Axial slice, Image size 240x240
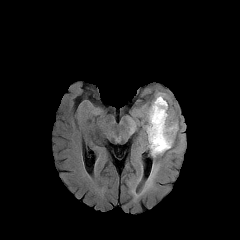
FLAIR MR image.
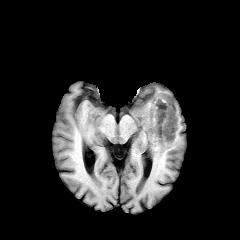
Same slice, T1-weighted MR image.
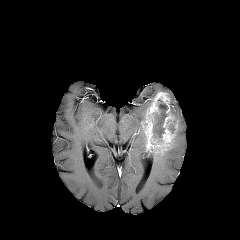
Same slice, post-contrast T1-weighted magnetic resonance.
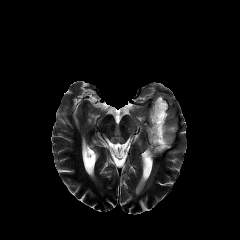
T2-weighted magnetic resonance of the same slice.
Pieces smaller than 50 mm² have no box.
* enhancing tumor: 144,92,177,155
* necrotic tumor core: 153,99,167,143
* peritumoral edema: 137,93,156,131; 144,151,162,190; 130,121,135,132